Slice index 83, Head, Image covers 240 mm x 240 mm
FLAIR MRI.
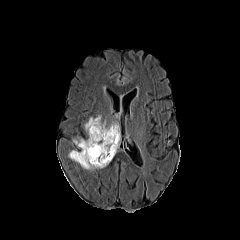
T1-weighted MRI.
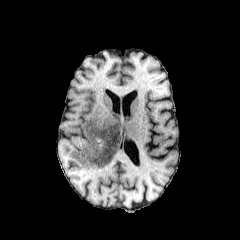
Post-contrast T1-weighted MRI.
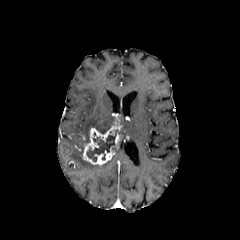
T2-weighted MR image.
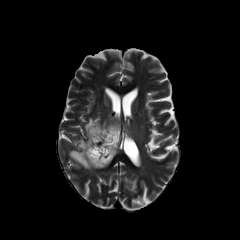
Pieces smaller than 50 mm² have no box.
{"enhancing_tumor": ["(x1=82, y1=116, x2=120, y2=165)"], "peritumoral_edema": ["(x1=69, y1=137, x2=109, y2=170)", "(x1=84, y1=116, x2=110, y2=136)"], "necrotic_tumor_core": ["(x1=86, y1=133, x2=116, y2=161)"]}